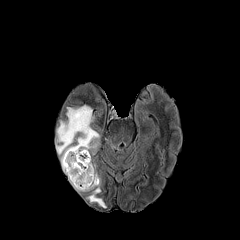
FLAIR MRI.
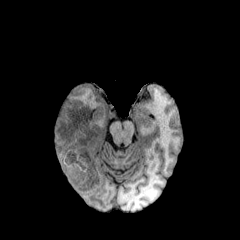
T1-weighted magnetic resonance.
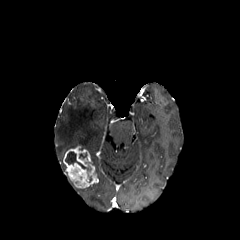
Post-contrast T1-weighted MR.
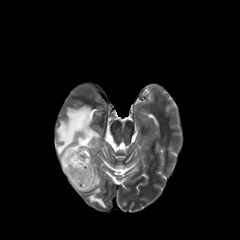
T2-weighted magnetic resonance.
240x240 px | Brain | Axial view
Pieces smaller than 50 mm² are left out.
The largest necrotic tumor core region is at bbox=[65, 151, 91, 170]. The 2 largest peritumoral edema regions are located at bbox=[74, 176, 106, 207]; bbox=[56, 105, 100, 170]. The enhancing tumor is located at bbox=[63, 146, 98, 188].